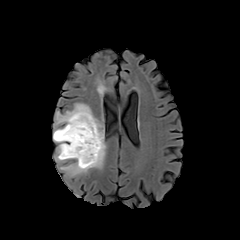
FLAIR MR.
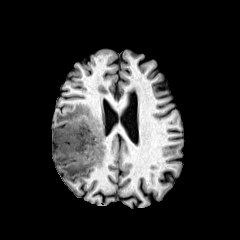
T1-weighted magnetic resonance of the same slice.
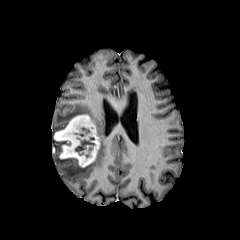
Post-contrast T1-weighted MRI.
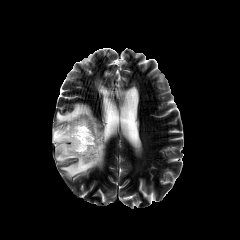
T2-weighted MR.
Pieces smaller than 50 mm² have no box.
{
  "necrotic_tumor_core": [
    "box(75, 137, 94, 155)"
  ],
  "peritumoral_edema": [
    "box(53, 103, 106, 178)"
  ],
  "enhancing_tumor": [
    "box(54, 115, 99, 167)"
  ]
}